Brain
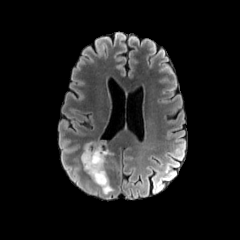
FLAIR MR.
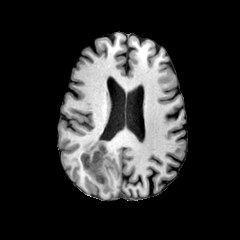
T1-weighted magnetic resonance.
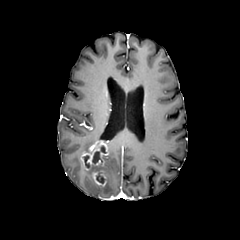
Same slice, post-contrast T1-weighted magnetic resonance.
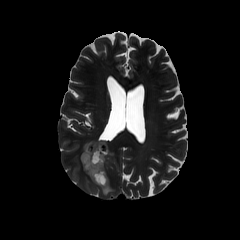
Same slice, T2-weighted MR.
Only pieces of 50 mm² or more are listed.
necrotic tumor core = <box>92,146,106,163</box>, <box>83,155,97,169</box>, <box>96,172,104,183</box>
peritumoral edema = <box>100,176,113,194</box>, <box>84,142,93,151</box>
enhancing tumor = <box>81,140,108,186</box>